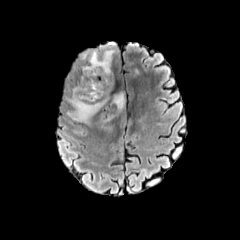
FLAIR MRI.
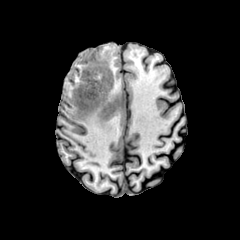
Same slice, T1-weighted magnetic resonance.
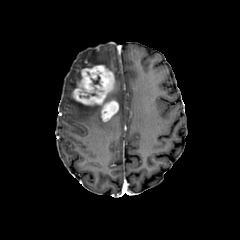
Same slice, post-contrast T1-weighted MR image.
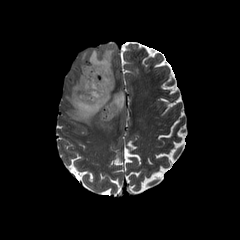
Same slice, T2-weighted MR image.
Brain.
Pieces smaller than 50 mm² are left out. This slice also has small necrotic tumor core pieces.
enhancing tumor = [x1=72, y1=65, x2=118, y2=121]
peritumoral edema = [x1=67, y1=97, x2=101, y2=124], [x1=82, y1=49, x2=114, y2=70], [x1=104, y1=93, x2=124, y2=111]